Axial slice | 240x240
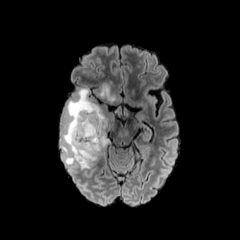
FLAIR magnetic resonance.
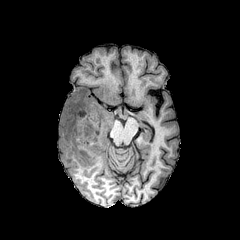
T1-weighted MRI.
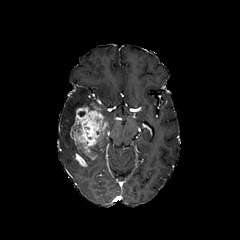
Same slice, post-contrast T1-weighted MRI.
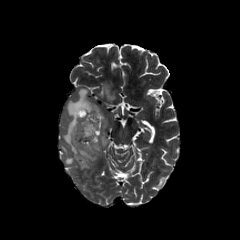
T2-weighted MRI of the same slice.
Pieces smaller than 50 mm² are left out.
{
  "enhancing_tumor": [
    "(70,103,108,167)"
  ],
  "peritumoral_edema": [
    "(98,78,114,102)",
    "(61,87,99,164)"
  ],
  "necrotic_tumor_core": [
    "(75,138,90,162)",
    "(72,124,81,136)"
  ]
}